Axial slice
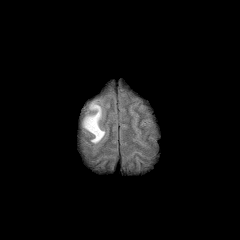
FLAIR MR.
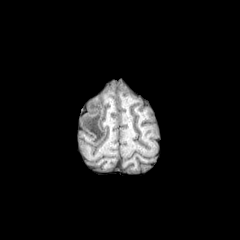
Same slice, T1-weighted MR.
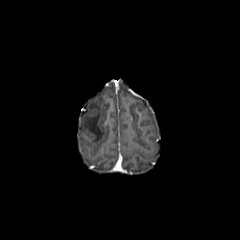
Post-contrast T1-weighted MRI.
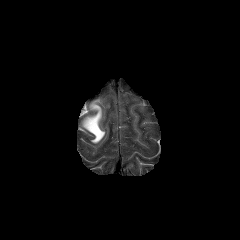
Same slice, T2-weighted magnetic resonance.
Findings:
* peritumoral edema: l=82, t=101, r=105, b=143